FLAIR MRI.
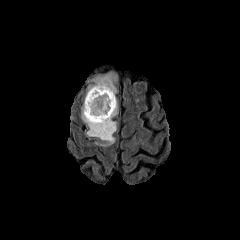
T1-weighted MR.
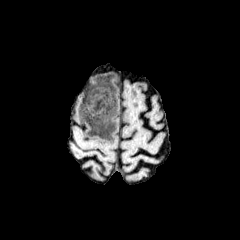
Post-contrast T1-weighted MR image.
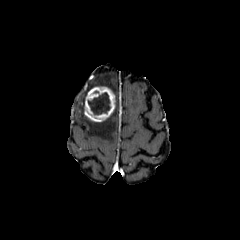
T2-weighted MRI.
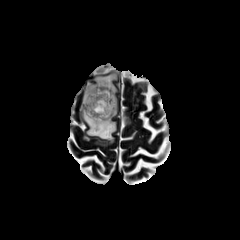
Image size 240x240.
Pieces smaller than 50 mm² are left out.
enhancing tumor: 84,86,115,121 | necrotic tumor core: 88,92,110,114 | peritumoral edema: 87,73,117,95; 81,98,118,145